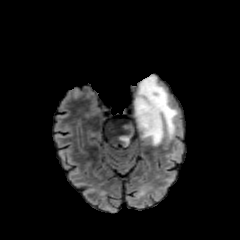
FLAIR MR image.
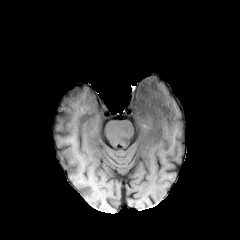
Same slice, T1-weighted MR image.
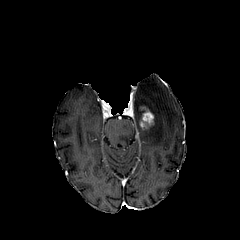
Post-contrast T1-weighted MR.
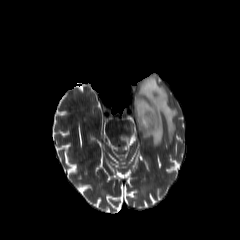
T2-weighted magnetic resonance.
Axial view, 240x240 px
Findings:
* enhancing tumor: <box>139,106,154,129</box>
* peritumoral edema: <box>118,75,178,146</box>